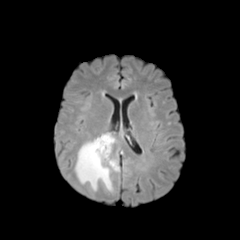
FLAIR MR.
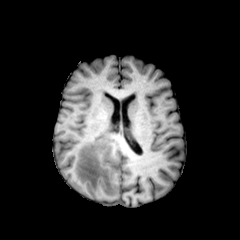
T1-weighted MR image.
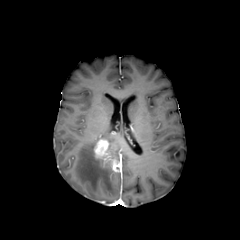
Post-contrast T1-weighted MRI.
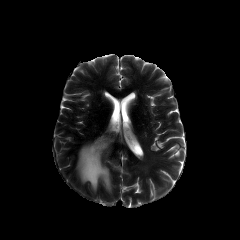
T2-weighted MR image.
Head; Axial slice
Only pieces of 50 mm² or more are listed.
{"enhancing_tumor": ["<box>111,159,119,171</box>", "<box>94,139,110,160</box>"], "peritumoral_edema": ["<box>75,133,114,191</box>"]}